Axial view
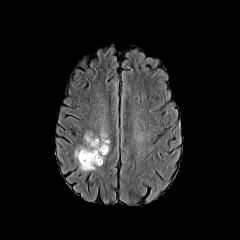
FLAIR MRI.
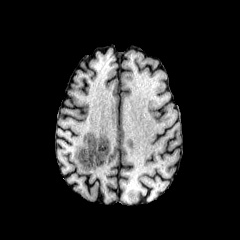
Same slice, T1-weighted magnetic resonance.
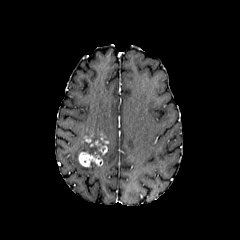
Same slice, post-contrast T1-weighted MRI.
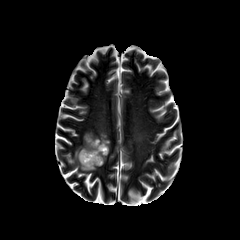
T2-weighted MRI.
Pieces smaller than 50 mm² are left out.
{
  "peritumoral_edema": [
    "[73, 142, 92, 160]",
    "[80, 163, 95, 170]",
    "[85, 129, 98, 141]",
    "[99, 126, 108, 136]"
  ],
  "enhancing_tumor": [
    "[90, 133, 108, 155]",
    "[78, 152, 103, 167]"
  ],
  "necrotic_tumor_core": [
    "[89, 145, 101, 154]"
  ]
}